Head. Axial plane.
FLAIR MR image.
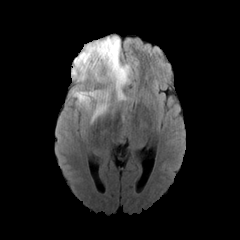
T1-weighted MRI.
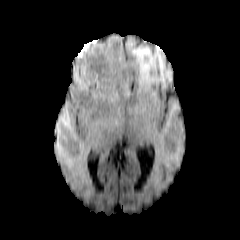
Post-contrast T1-weighted MR.
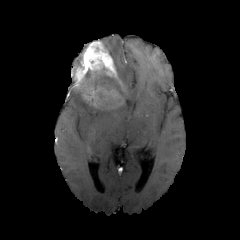
T2-weighted MR.
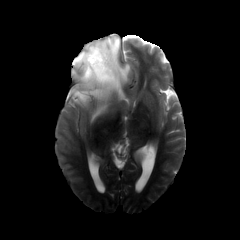
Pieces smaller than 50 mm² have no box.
{"necrotic_tumor_core": ["99,75,112,86"], "peritumoral_edema": ["70,88,107,122", "121,89,129,101", "105,35,130,88"], "enhancing_tumor": ["71,38,123,115"]}